FLAIR MR.
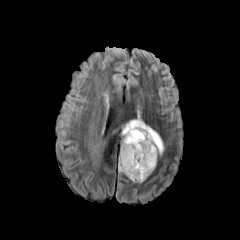
T1-weighted MR.
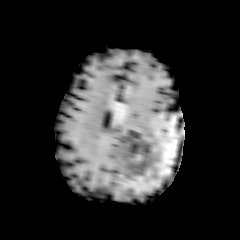
Post-contrast T1-weighted magnetic resonance.
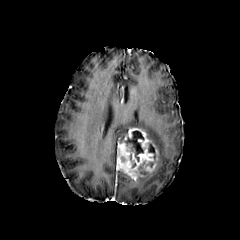
T2-weighted MR image.
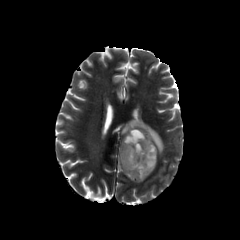
Axial view. Image size 240x240. Head.
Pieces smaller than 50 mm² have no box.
enhancing tumor: <bbox>117, 128, 158, 180</bbox> | necrotic tumor core: <bbox>125, 131, 143, 161</bbox> | peritumoral edema: <bbox>121, 114, 164, 156</bbox>, <bbox>127, 176, 146, 182</bbox>